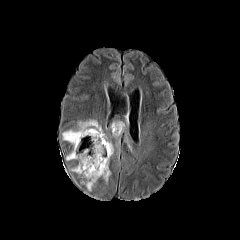
FLAIR MR.
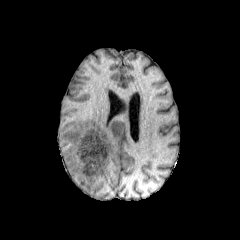
Same slice, T1-weighted magnetic resonance.
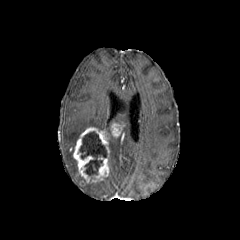
Same slice, post-contrast T1-weighted magnetic resonance.
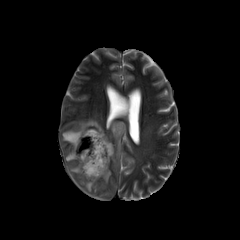
T2-weighted MR image.
Axial plane | 240x240 px
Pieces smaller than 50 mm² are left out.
2 enhancing tumor regions are bounded by [110,122,124,137], [73,127,110,183]. The necrotic tumor core is located at [79,131,107,175]. The 4 largest peritumoral edema regions are located at [84,183,95,191], [62,119,102,147], [109,141,114,157], [66,150,74,160].